FLAIR MR image.
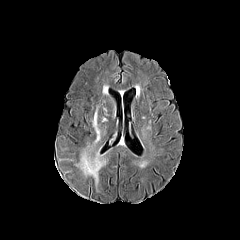
T1-weighted MR.
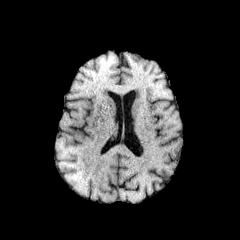
Post-contrast T1-weighted magnetic resonance.
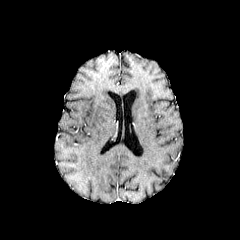
T2-weighted MR image.
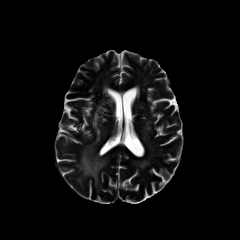
Axial plane.
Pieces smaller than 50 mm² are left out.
The 2 largest peritumoral edema regions appear at box(93, 106, 100, 143); box(77, 149, 105, 185).